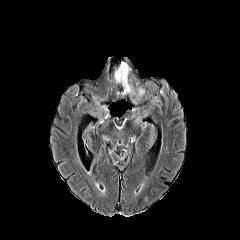
FLAIR magnetic resonance.
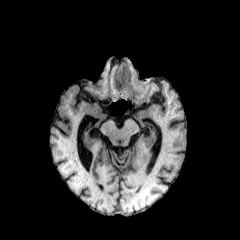
T1-weighted MR.
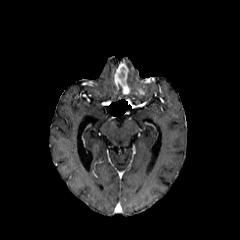
Post-contrast T1-weighted magnetic resonance.
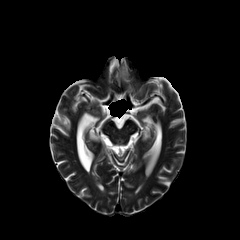
T2-weighted magnetic resonance of the same slice.
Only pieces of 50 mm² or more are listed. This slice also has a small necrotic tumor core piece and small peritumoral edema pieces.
<segmentation>
  <enhancing_tumor>box=[114, 62, 130, 94]</enhancing_tumor>
</segmentation>